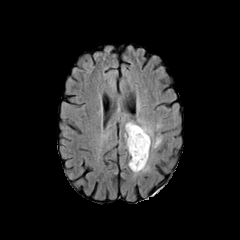
FLAIR magnetic resonance.
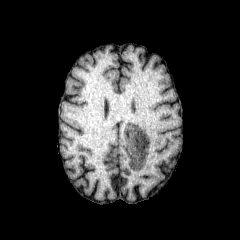
T1-weighted MRI.
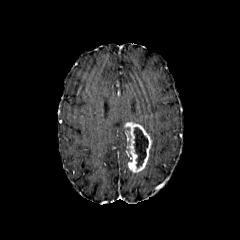
Post-contrast T1-weighted MR image of the same slice.
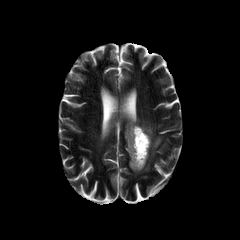
Same slice, T2-weighted magnetic resonance.
Axial view | Head | 240x240 px
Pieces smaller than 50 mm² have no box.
{
  "enhancing_tumor": [
    "region(125, 122, 151, 172)"
  ],
  "necrotic_tumor_core": [
    "region(134, 127, 148, 167)"
  ],
  "peritumoral_edema": [
    "region(136, 119, 161, 148)"
  ]
}